FLAIR magnetic resonance.
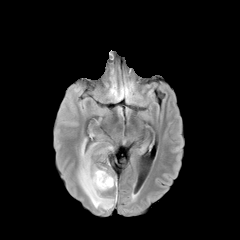
T1-weighted magnetic resonance.
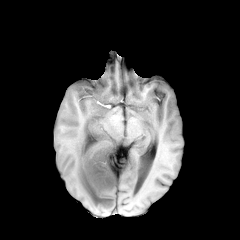
Post-contrast T1-weighted MR.
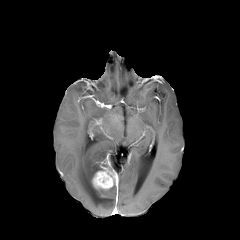
T2-weighted MR image.
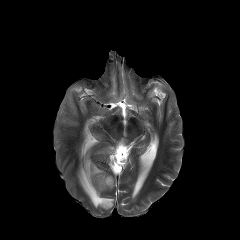
Axial view.
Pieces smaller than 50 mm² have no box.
<segmentation>
  <enhancing_tumor>92,167,116,188</enhancing_tumor>
  <peritumoral_edema>77,139,114,209</peritumoral_edema>
</segmentation>